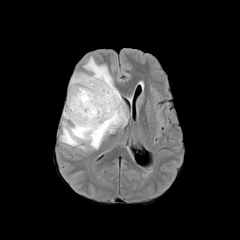
FLAIR MR.
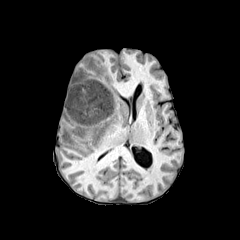
T1-weighted MR image of the same slice.
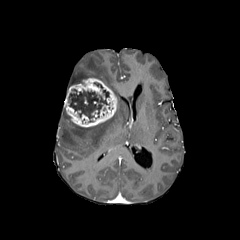
Post-contrast T1-weighted MR image.
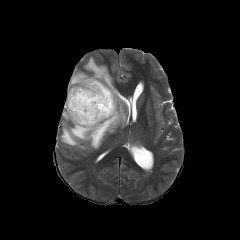
T2-weighted MR image of the same slice.
Axial slice.
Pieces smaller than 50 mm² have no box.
peritumoral_edema:
  - (60,56,126,149)
  - (63,109,70,120)
necrotic_tumor_core:
  - (68,89,109,118)
enhancing_tumor:
  - (64,78,117,127)